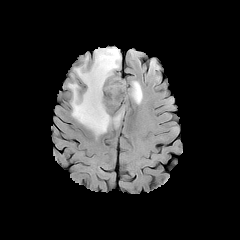
FLAIR MR.
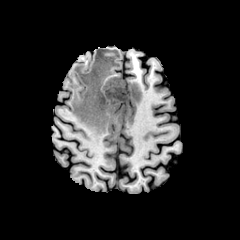
T1-weighted MR image of the same slice.
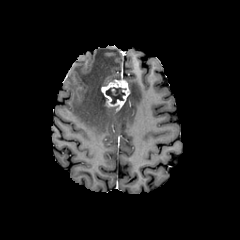
Same slice, post-contrast T1-weighted MR.
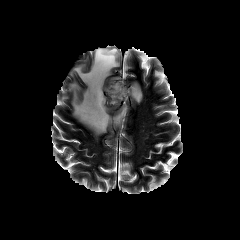
T2-weighted MR.
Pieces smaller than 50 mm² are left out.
The 2 largest peritumoral edema regions appear at {"x1": 68, "y1": 47, "x2": 125, "y2": 135}, {"x1": 129, "y1": 81, "x2": 142, "y2": 104}. The necrotic tumor core lies within {"x1": 106, "y1": 87, "x2": 125, "y2": 103}. The largest enhancing tumor region is at {"x1": 101, "y1": 79, "x2": 130, "y2": 109}.